FLAIR MR image.
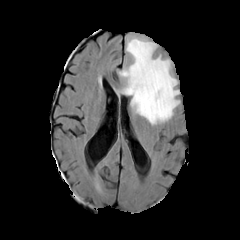
T1-weighted MR image.
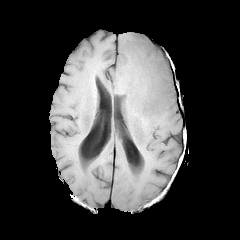
Post-contrast T1-weighted magnetic resonance.
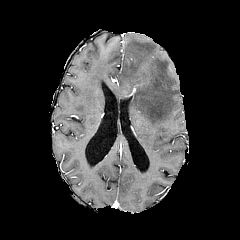
T2-weighted MR image.
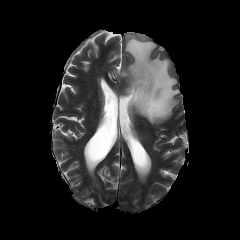
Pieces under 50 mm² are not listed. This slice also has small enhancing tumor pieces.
peritumoral edema: bounding box region(118, 35, 177, 124)